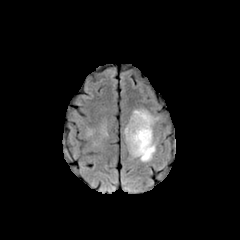
FLAIR MR.
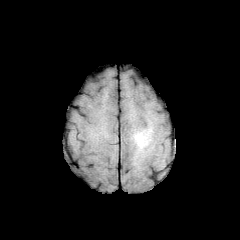
T1-weighted magnetic resonance.
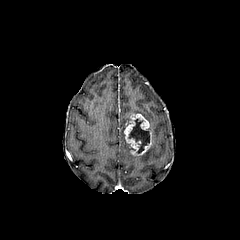
Post-contrast T1-weighted MR image.
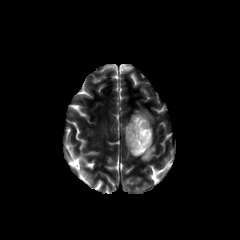
Same slice, T2-weighted MRI.
Head. Axial plane.
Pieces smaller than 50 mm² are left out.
Findings:
- enhancing tumor: <bbox>124, 113, 152, 155</bbox>
- peritumoral edema: <bbox>130, 109, 158, 161</bbox>
- necrotic tumor core: <bbox>128, 119, 149, 153</bbox>